Head | Axial plane
FLAIR MR.
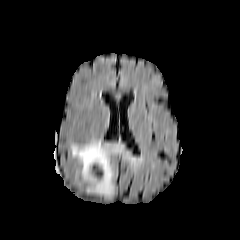
T1-weighted MR.
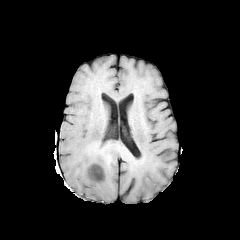
Post-contrast T1-weighted MR image.
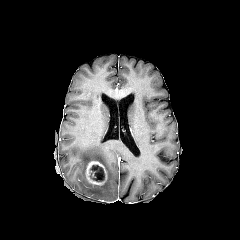
T2-weighted MR image.
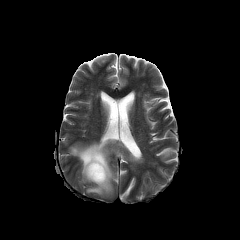
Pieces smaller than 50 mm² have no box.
necrotic_tumor_core:
  - 90 165 104 181
enhancing_tumor:
  - 85 161 107 185
peritumoral_edema:
  - 70 140 142 196